Slice 67/155 | 240x240 px
FLAIR MRI.
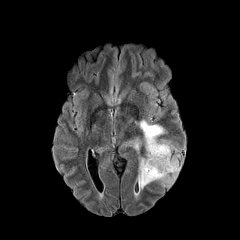
T1-weighted MR.
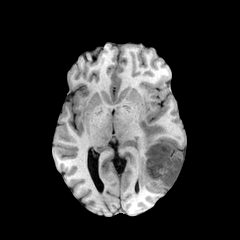
Post-contrast T1-weighted MR image.
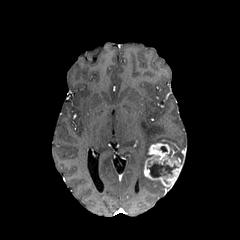
T2-weighted MR.
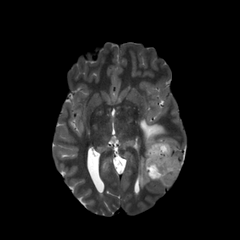
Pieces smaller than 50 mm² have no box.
peritumoral edema: x1=139, y1=120, x2=165, y2=157; x1=137, y1=157, x2=152, y2=188
necrotic tumor core: x1=147, y1=161, x2=176, y2=177
enhancing tumor: x1=144, y1=142, x2=182, y2=187